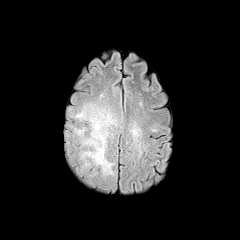
FLAIR MRI.
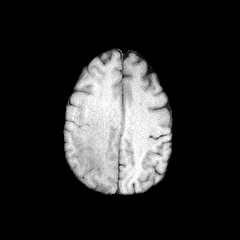
T1-weighted magnetic resonance of the same slice.
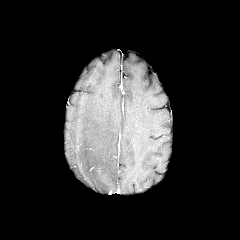
Post-contrast T1-weighted magnetic resonance.
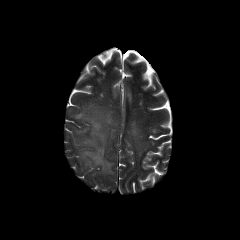
T2-weighted MR image.
Head
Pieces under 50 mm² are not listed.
{"peritumoral_edema": ["(131,127,138,136)", "(74,103,117,176)"]}